Slice 55/155. Image size 240x240. Brain.
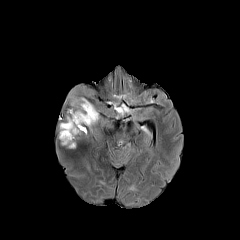
FLAIR MR.
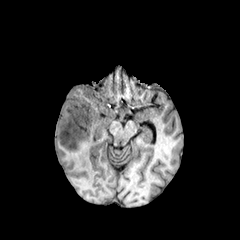
T1-weighted MR.
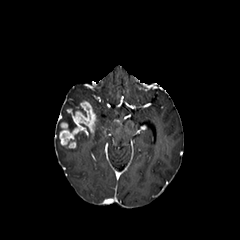
Same slice, post-contrast T1-weighted MR.
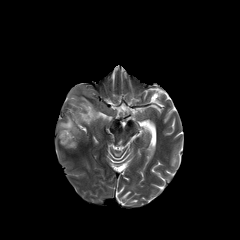
T2-weighted magnetic resonance of the same slice.
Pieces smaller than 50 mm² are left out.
The 2 largest peritumoral edema regions appear at 69,86,93,114; 66,116,76,131. The enhancing tumor is at 59,100,97,148.